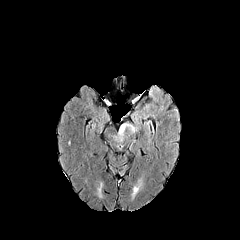
FLAIR MRI.
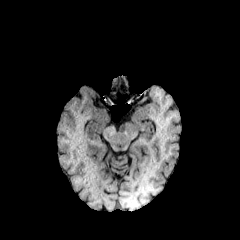
T1-weighted magnetic resonance.
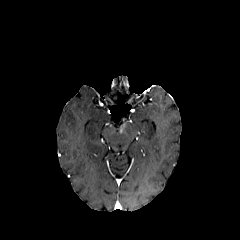
Post-contrast T1-weighted MR of the same slice.
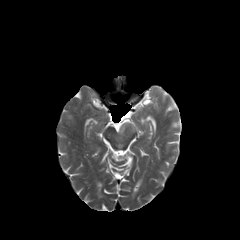
T2-weighted MR.
Brain
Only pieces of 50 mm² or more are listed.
peritumoral edema = rect(118, 120, 136, 134)